Image size 240x240; Image width 240 mm; Head; Axial slice
FLAIR MR.
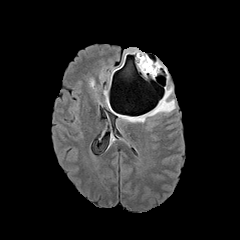
T1-weighted magnetic resonance.
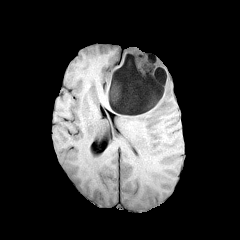
Post-contrast T1-weighted MRI.
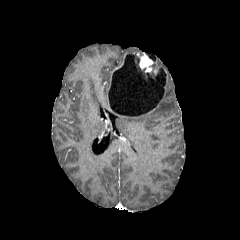
T2-weighted MRI.
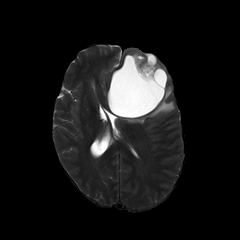
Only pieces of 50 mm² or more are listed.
peritumoral edema at 148 88 174 115, 129 115 144 121
enhancing tumor at 139 55 152 72, 107 55 125 94
necrotic tumor core at 109 54 167 117